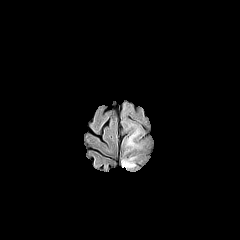
FLAIR MRI.
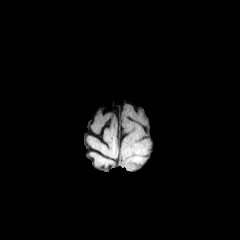
Same slice, T1-weighted magnetic resonance.
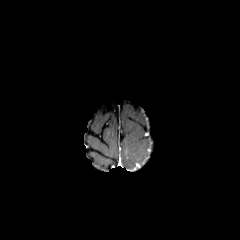
Post-contrast T1-weighted MR image.
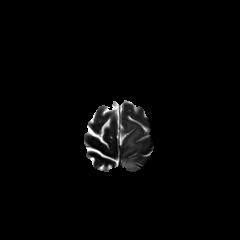
Same slice, T2-weighted magnetic resonance.
240x240. Head.
peritumoral edema: bounding box [123, 126, 142, 155], [122, 156, 136, 169]